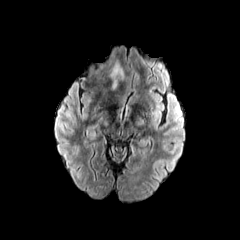
FLAIR MR.
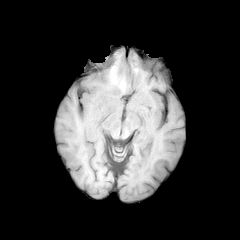
T1-weighted MR image.
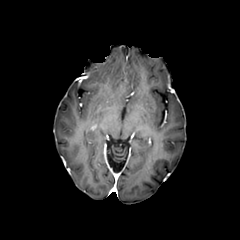
Post-contrast T1-weighted magnetic resonance.
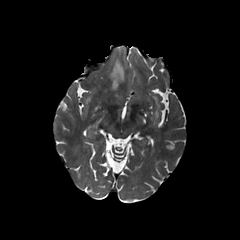
Same slice, T2-weighted MRI.
Axial slice.
The peritumoral edema is bounded by 110 61 123 90.